FLAIR MRI.
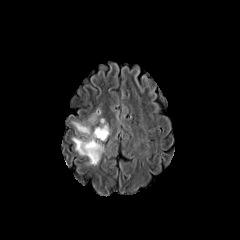
T1-weighted magnetic resonance.
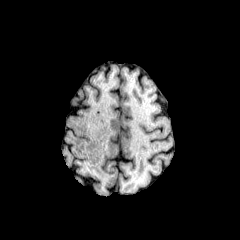
Post-contrast T1-weighted magnetic resonance.
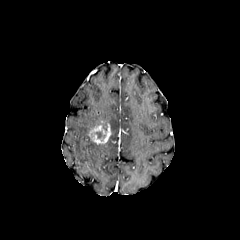
T2-weighted MR.
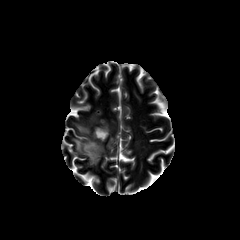
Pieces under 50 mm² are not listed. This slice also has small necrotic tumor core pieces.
{"enhancing_tumor": ["left=88, top=120, right=111, bottom=144"], "peritumoral_edema": ["left=72, top=121, right=105, bottom=165", "left=88, top=108, right=101, bottom=124"]}